Slice 113 of 155.
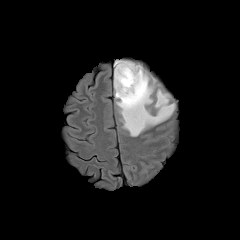
FLAIR MR.
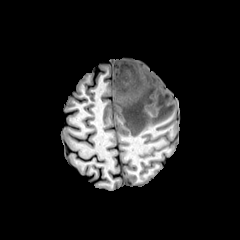
T1-weighted magnetic resonance.
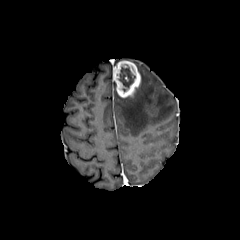
Post-contrast T1-weighted magnetic resonance of the same slice.
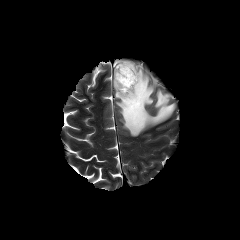
T2-weighted magnetic resonance.
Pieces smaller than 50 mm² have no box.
peritumoral edema: box=[114, 64, 175, 136] | necrotic tumor core: box=[119, 64, 135, 91] | enhancing tumor: box=[113, 60, 140, 97]